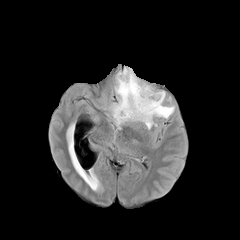
FLAIR MRI.
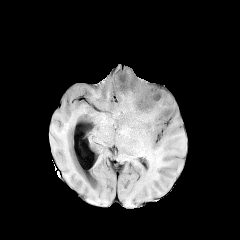
Same slice, T1-weighted MR.
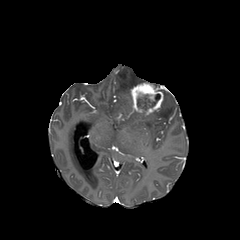
Post-contrast T1-weighted MRI.
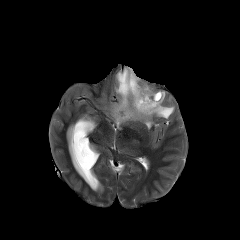
T2-weighted MRI of the same slice.
Head.
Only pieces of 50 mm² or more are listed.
enhancing_tumor:
  - x1=131 y1=83 x2=163 y2=114
peritumoral_edema:
  - x1=111 y1=67 x2=174 y2=128
necrotic_tumor_core:
  - x1=138 y1=95 x2=157 y2=110